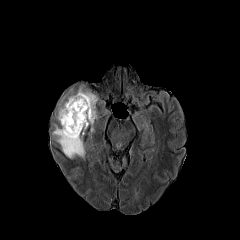
FLAIR MR image.
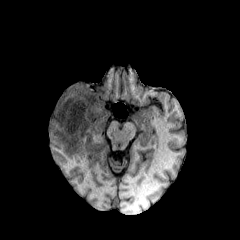
Same slice, T1-weighted MRI.
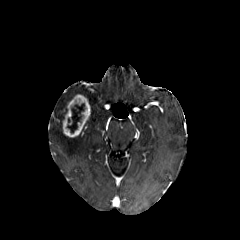
Post-contrast T1-weighted MR.
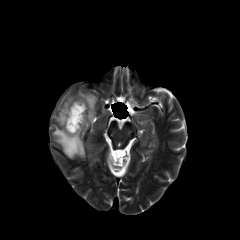
Same slice, T2-weighted MR.
Axial view | 240x240
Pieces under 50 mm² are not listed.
Segmented structures:
* enhancing tumor: [62,94,90,137]
* peritumoral edema: [77,86,97,134], [52,125,85,159], [57,88,74,119]
* necrotic tumor core: [60,106,67,123], [67,103,84,133]